Image covers 240 mm x 240 mm; Head; Axial slice
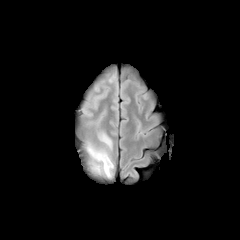
FLAIR MR image.
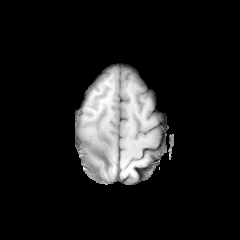
T1-weighted MR.
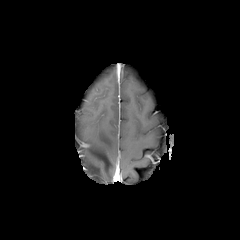
Post-contrast T1-weighted MR of the same slice.
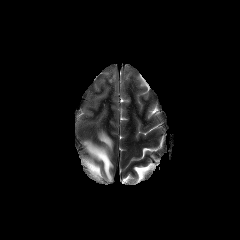
T2-weighted MR image.
peritumoral edema = bbox(86, 132, 113, 178)